FLAIR magnetic resonance.
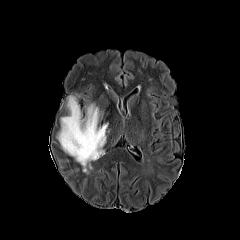
T1-weighted MR image.
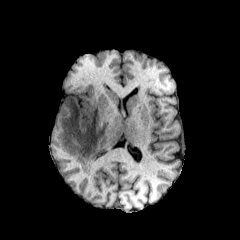
Post-contrast T1-weighted MR.
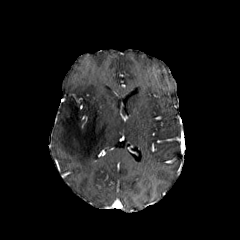
T2-weighted MR.
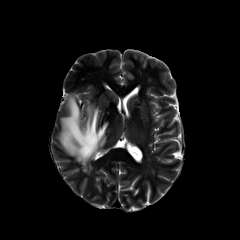
Axial plane
<segmentation>
  <peritumoral_edema>box=[57, 96, 108, 173]</peritumoral_edema>
</segmentation>